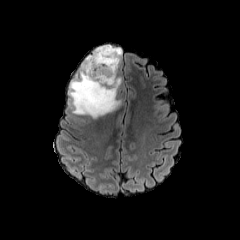
FLAIR magnetic resonance.
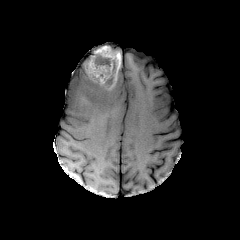
T1-weighted MR of the same slice.
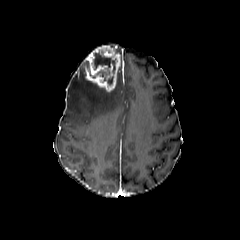
Same slice, post-contrast T1-weighted MR image.
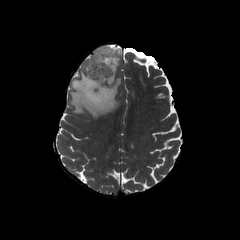
T2-weighted MRI.
Axial slice
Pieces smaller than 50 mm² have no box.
enhancing tumor at bbox(84, 45, 120, 92)
peritumoral edema at bbox(69, 62, 121, 118)
necrotic tumor core at bbox(94, 51, 115, 72)